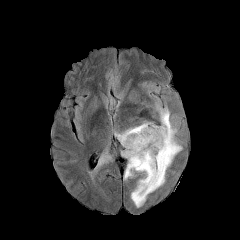
FLAIR magnetic resonance.
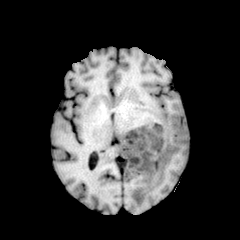
T1-weighted MR image of the same slice.
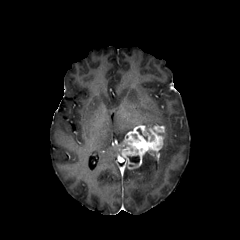
Same slice, post-contrast T1-weighted MR image.
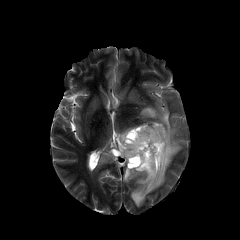
Same slice, T2-weighted MR image.
240x240 px
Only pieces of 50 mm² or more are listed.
- peritumoral edema: 98,152,111,165; 115,127,134,143; 124,106,181,207
- enhancing tumor: 115,125,165,169
- necrotic tumor core: 128,156,139,163